Axial slice
FLAIR MR.
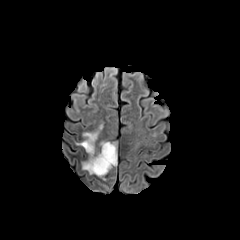
T1-weighted MR.
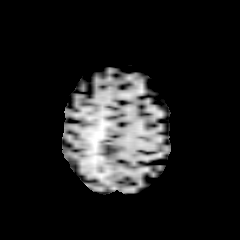
Post-contrast T1-weighted MRI.
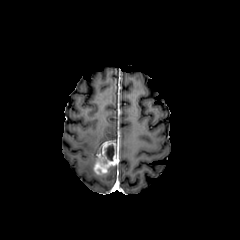
T2-weighted magnetic resonance.
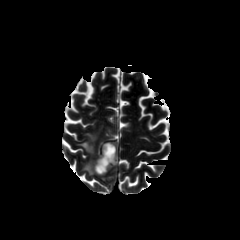
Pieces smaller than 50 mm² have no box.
enhancing tumor at (left=93, top=142, right=117, bottom=176)
peritumoral edema at (left=77, top=132, right=97, bottom=156), (left=83, top=157, right=96, bottom=174)
necrotic tumor core at (left=106, top=145, right=114, bottom=160)